Image covers 240 mm x 240 mm. Slice 108 of 155. Axial view.
FLAIR magnetic resonance.
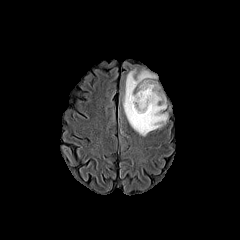
T1-weighted MR image.
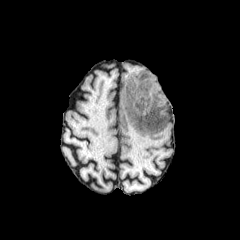
Post-contrast T1-weighted MRI.
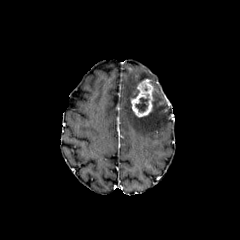
T2-weighted MR.
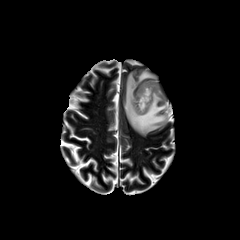
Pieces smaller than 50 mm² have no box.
Annotated regions:
• necrotic tumor core: x1=135, y1=97, x2=148, y2=111
• peritumoral edema: x1=123, y1=70, x2=168, y2=136
• enhancing tumor: x1=131, y1=79, x2=153, y2=117